Slice 97 of 155 | Axial view | Head
FLAIR magnetic resonance.
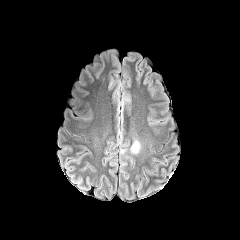
T1-weighted MR image.
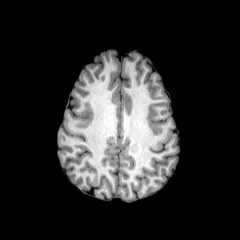
Post-contrast T1-weighted MR image.
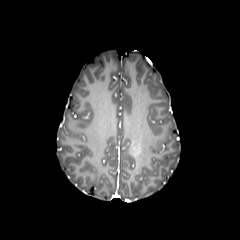
T2-weighted MRI.
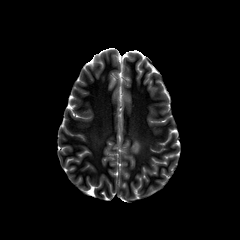
peritumoral edema — x1=120 y1=140 x2=141 y2=154